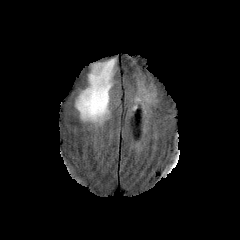
FLAIR MR.
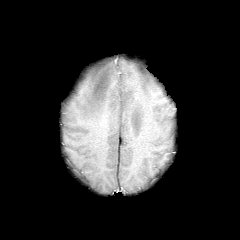
T1-weighted MRI of the same slice.
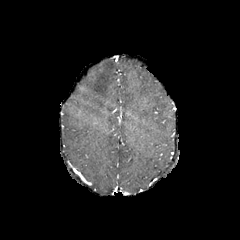
Same slice, post-contrast T1-weighted MRI.
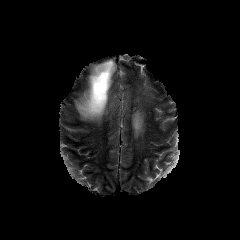
T2-weighted MR image of the same slice.
240x240 px; Axial slice; Brain
peritumoral edema = 75, 59, 114, 122